Head | Slice 120 of 155 | Axial plane
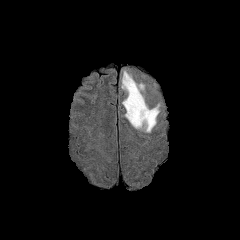
FLAIR MRI.
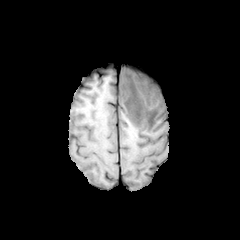
Same slice, T1-weighted MR.
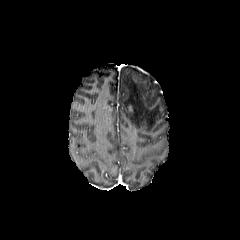
Same slice, post-contrast T1-weighted magnetic resonance.
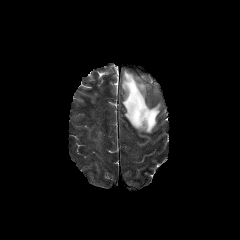
Same slice, T2-weighted MR.
{
  "peritumoral_edema": [
    "rect(122, 71, 159, 132)"
  ]
}